FLAIR MR.
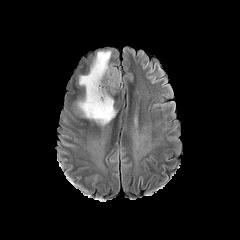
T1-weighted MRI.
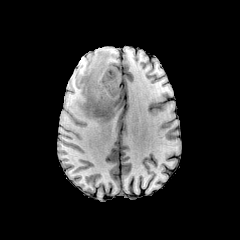
Post-contrast T1-weighted MR image.
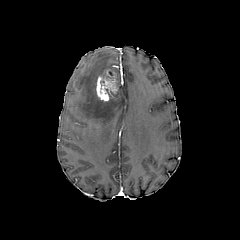
T2-weighted MR image.
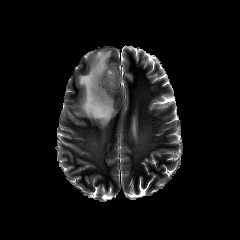
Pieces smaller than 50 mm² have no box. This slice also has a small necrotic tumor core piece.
{
  "enhancing_tumor": [
    "[96,69,118,101]"
  ],
  "peritumoral_edema": [
    "[77,50,120,126]"
  ]
}